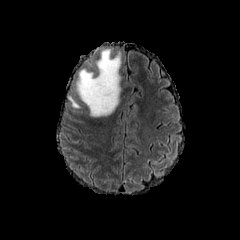
FLAIR MRI.
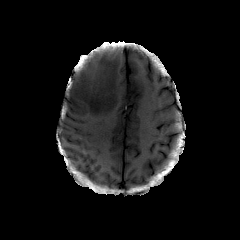
Same slice, T1-weighted MR image.
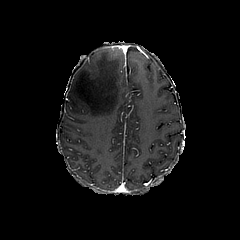
Post-contrast T1-weighted MRI.
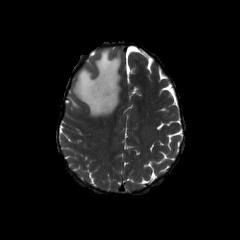
T2-weighted MR.
peritumoral_edema:
  - l=68, t=96, r=79, b=108
  - l=73, t=48, r=120, b=116